Brain. 240x240.
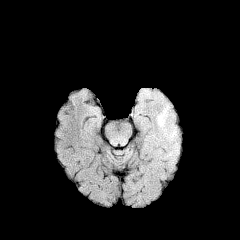
FLAIR magnetic resonance.
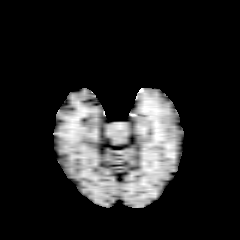
T1-weighted MRI of the same slice.
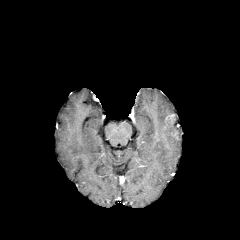
Post-contrast T1-weighted MR of the same slice.
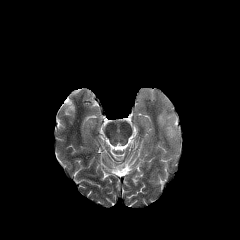
Same slice, T2-weighted MR.
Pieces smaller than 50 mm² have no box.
Segmented structures:
- peritumoral edema: <bbox>157, 109, 178, 151</bbox>
- enhancing tumor: <bbox>166, 114, 175, 123</bbox>